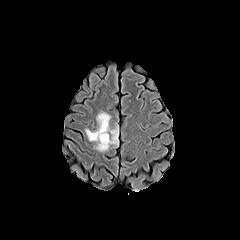
FLAIR MRI.
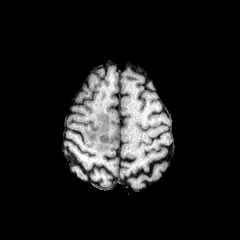
T1-weighted MR image.
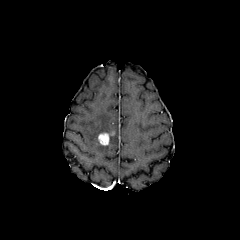
Same slice, post-contrast T1-weighted MR.
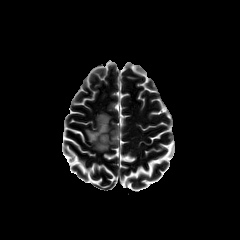
T2-weighted MRI.
Brain
The peritumoral edema is located at x1=85 y1=112 x2=118 y2=151. The enhancing tumor is located at x1=98 y1=131 x2=114 y2=145.